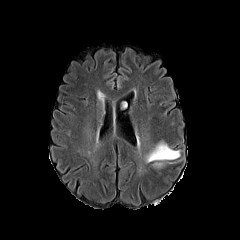
FLAIR MRI.
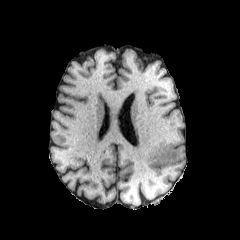
T1-weighted MR image.
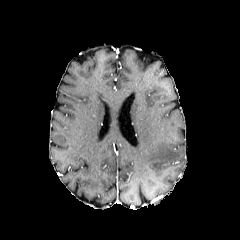
Post-contrast T1-weighted MRI.
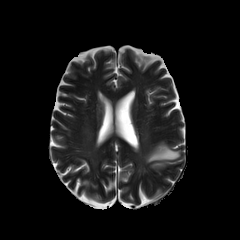
T2-weighted MRI of the same slice.
Brain; Axial plane
<segmentation>
  <peritumoral_edema>x1=145, y1=141, x2=180, y2=167</peritumoral_edema>
</segmentation>